Brain. 240x240. Slice 46 of 155.
FLAIR MR image.
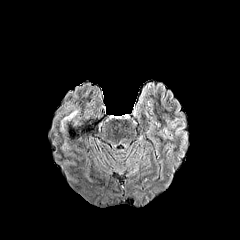
T1-weighted MR.
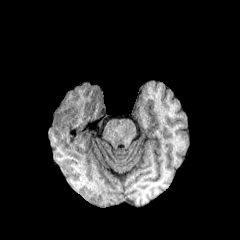
Post-contrast T1-weighted MR image.
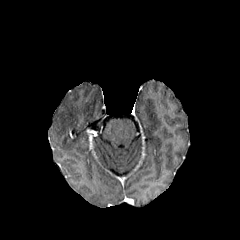
T2-weighted MR.
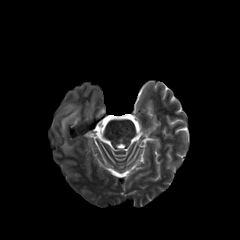
- peritumoral edema: (left=62, top=110, right=77, bottom=123)